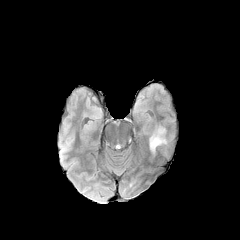
FLAIR MR.
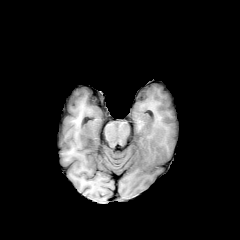
T1-weighted MR of the same slice.
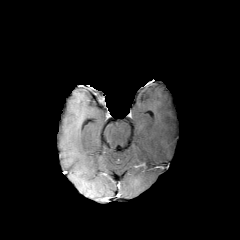
Post-contrast T1-weighted MRI.
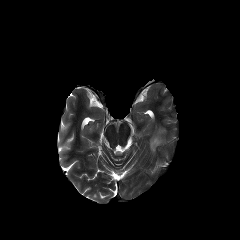
T2-weighted MR.
Axial slice. Head.
peritumoral edema: bounding box (x1=150, y1=129, x2=164, y2=151)